FLAIR MR.
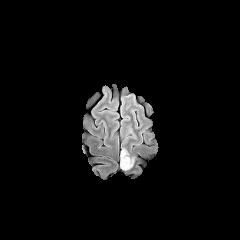
T1-weighted magnetic resonance.
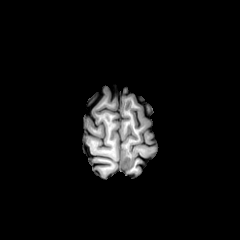
Post-contrast T1-weighted MR image.
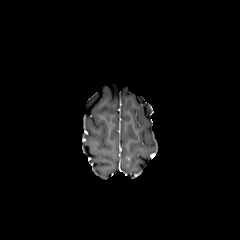
T2-weighted MRI.
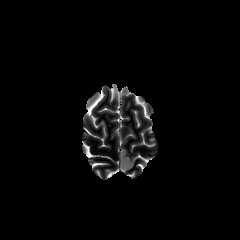
Brain
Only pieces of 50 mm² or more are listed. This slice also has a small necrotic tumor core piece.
Findings:
* enhancing tumor: left=124, top=156, right=130, bottom=167
* peritumoral edema: left=120, top=147, right=135, bottom=170